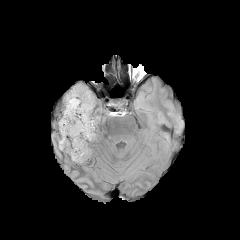
FLAIR MR image.
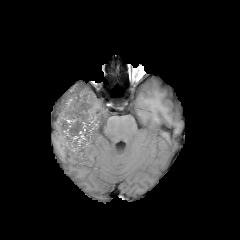
T1-weighted MR.
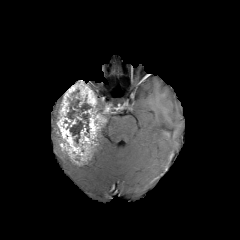
Post-contrast T1-weighted magnetic resonance of the same slice.
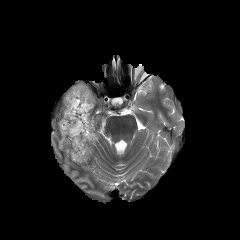
T2-weighted MRI.
240x240 px
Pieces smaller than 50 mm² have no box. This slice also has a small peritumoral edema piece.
Findings:
• necrotic tumor core: bbox(70, 119, 83, 143); bbox(81, 113, 89, 132); bbox(67, 98, 92, 119)
• enhancing tumor: bbox(57, 81, 106, 164)